Image width 240 mm | Slice 94/155 | Head
FLAIR MR image.
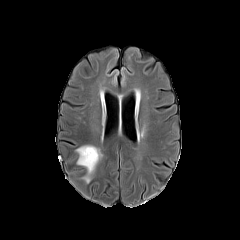
T1-weighted MR image.
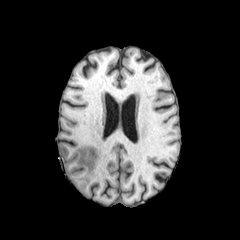
Post-contrast T1-weighted magnetic resonance.
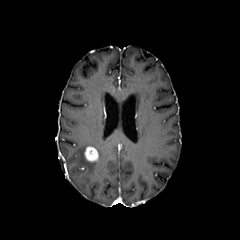
T2-weighted magnetic resonance.
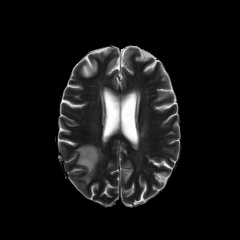
Findings:
- peritumoral edema: (x1=76, y1=145, x2=102, y2=183)
- enhancing tumor: (x1=84, y1=146, x2=98, y2=161)